240x240. Axial plane.
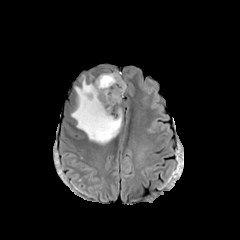
FLAIR MR image.
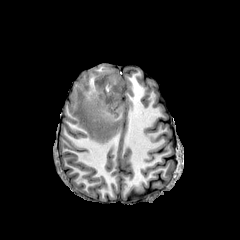
T1-weighted MR.
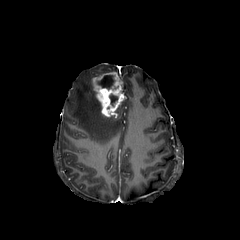
Post-contrast T1-weighted magnetic resonance of the same slice.
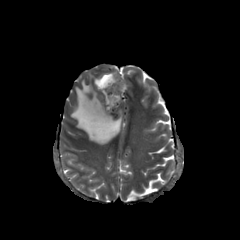
T2-weighted MR.
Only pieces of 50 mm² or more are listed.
peritumoral edema — <bbox>71, 75, 122, 144</bbox>
necrotic tumor core — <bbox>109, 94, 117, 106</bbox>, <bbox>97, 75, 114, 89</bbox>
enhancing tumor — <bbox>93, 72, 124, 116</bbox>